FLAIR MRI.
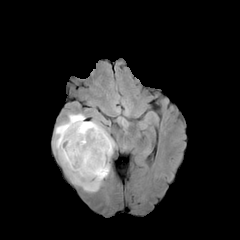
T1-weighted MRI.
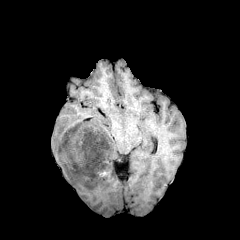
Post-contrast T1-weighted MRI.
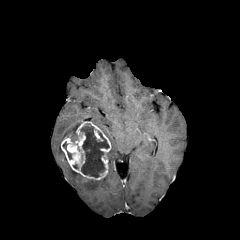
T2-weighted MR.
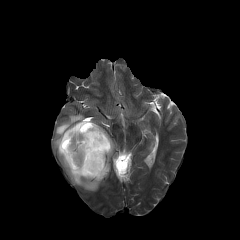
Brain; Image size 240x240; Axial slice
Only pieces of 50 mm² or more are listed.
necrotic tumor core: l=80, t=124, r=109, b=177
enhancing tumor: l=61, t=121, r=111, b=180
peritumoral edema: l=53, t=113, r=103, b=192; l=91, t=120, r=115, b=161